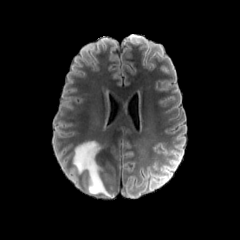
FLAIR MR.
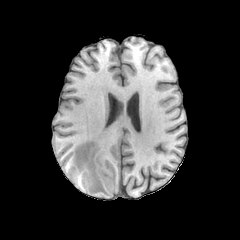
T1-weighted MR image of the same slice.
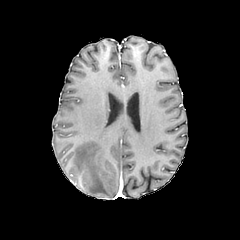
Post-contrast T1-weighted magnetic resonance of the same slice.
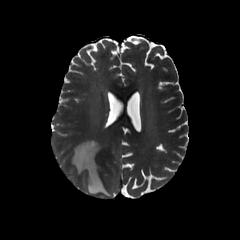
Same slice, T2-weighted MR image.
Brain
The peritumoral edema is located at box=[73, 141, 111, 196].